Slice index 60, Brain
FLAIR MR image.
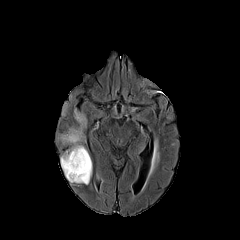
T1-weighted magnetic resonance.
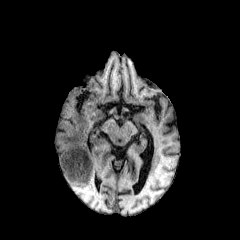
Post-contrast T1-weighted MRI.
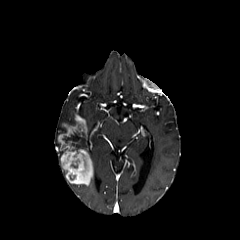
T2-weighted MR.
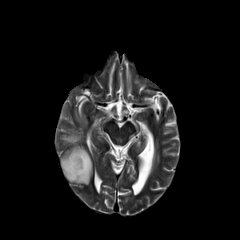
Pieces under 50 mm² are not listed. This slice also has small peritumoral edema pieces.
• necrotic tumor core: 63:131:83:150
• enhancing tumor: 58:114:93:185